240x240. Axial view.
FLAIR magnetic resonance.
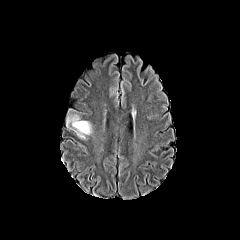
T1-weighted MR image.
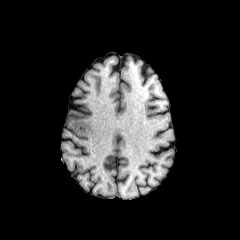
Post-contrast T1-weighted MRI.
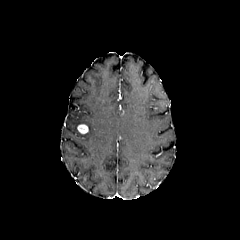
T2-weighted MR image.
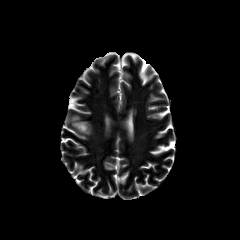
Findings:
- enhancing tumor: [x1=77, y1=124, x2=88, y2=133]
- peritumoral edema: [x1=67, y1=110, x2=92, y2=138]